FLAIR MR image.
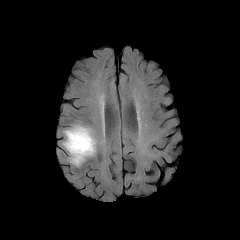
T1-weighted MR.
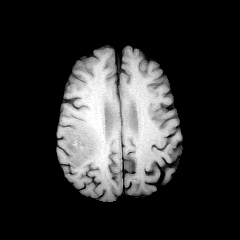
Post-contrast T1-weighted MR.
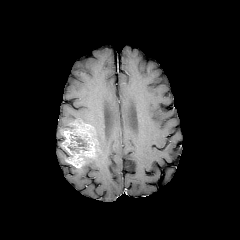
T2-weighted magnetic resonance.
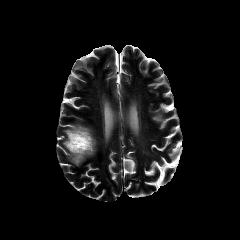
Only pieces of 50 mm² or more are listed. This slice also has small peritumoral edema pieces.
The enhancing tumor is bounded by box(62, 122, 97, 167). The largest necrotic tumor core region lies within box(68, 136, 88, 153).